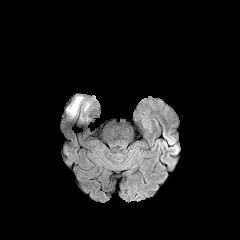
FLAIR magnetic resonance.
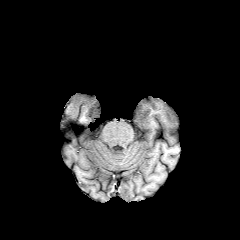
T1-weighted MR.
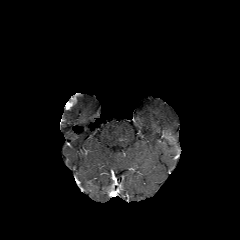
Post-contrast T1-weighted MR of the same slice.
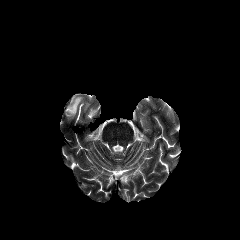
T2-weighted magnetic resonance.
Brain, Axial plane
The peritumoral edema is located at [66,96,94,117]. The enhancing tumor is located at [65,95,76,109].